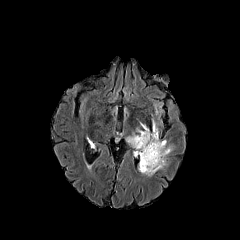
FLAIR MR image.
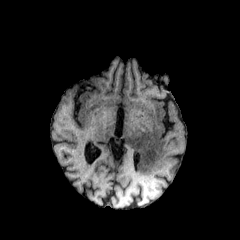
Same slice, T1-weighted MR.
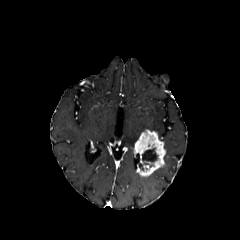
Same slice, post-contrast T1-weighted MRI.
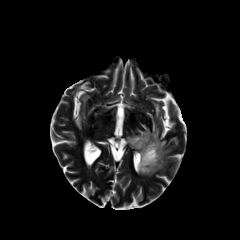
Same slice, T2-weighted MR.
Head | Image size 240x240
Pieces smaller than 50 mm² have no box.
enhancing tumor: bounding box x1=134 y1=129 x2=166 y2=176
peritumoral edema: bounding box x1=126 y1=132 x2=139 y2=147, x1=163 y1=140 x2=172 y2=154, x1=152 y1=119 x2=158 y2=135
necrotic tumor core: bounding box x1=142 y1=148 x2=157 y2=162